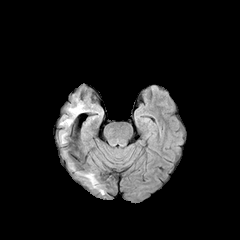
FLAIR MR.
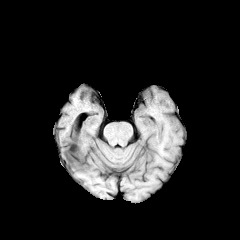
T1-weighted magnetic resonance of the same slice.
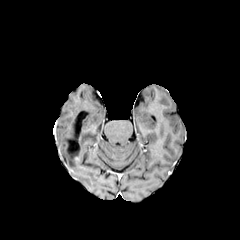
Post-contrast T1-weighted MRI.
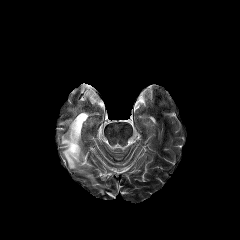
T2-weighted MRI.
Head.
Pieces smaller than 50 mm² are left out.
- peritumoral edema: bbox=[85, 173, 96, 187]